Brain.
FLAIR MRI.
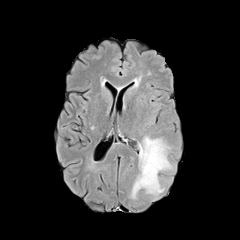
T1-weighted magnetic resonance.
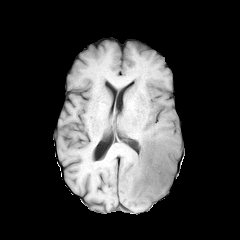
Post-contrast T1-weighted MRI.
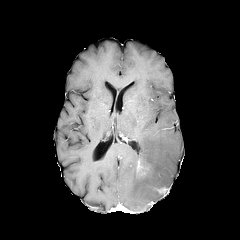
T2-weighted MR image.
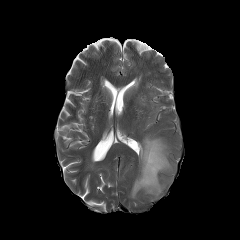
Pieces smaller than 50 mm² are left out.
<segmentation>
  <peritumoral_edema>[130, 136, 172, 198]</peritumoral_edema>
  <enhancing_tumor>[138, 161, 149, 175]</enhancing_tumor>
</segmentation>